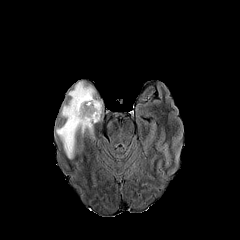
FLAIR MRI.
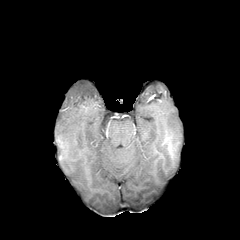
T1-weighted MR image.
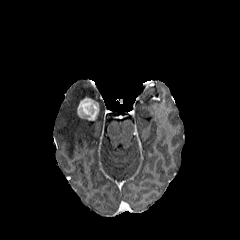
Post-contrast T1-weighted MRI.
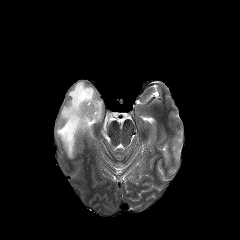
T2-weighted magnetic resonance.
Axial plane
The enhancing tumor lies within [77,97,99,120]. The peritumoral edema is bounded by [56,81,102,158].